FLAIR magnetic resonance.
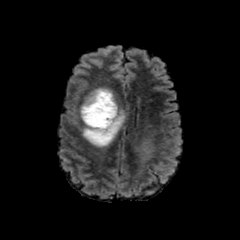
T1-weighted MR.
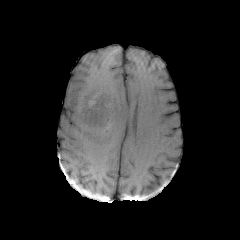
Post-contrast T1-weighted MR.
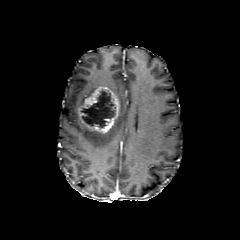
T2-weighted MRI.
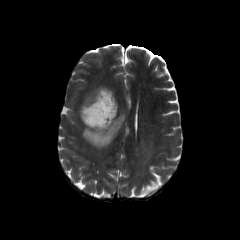
Axial plane
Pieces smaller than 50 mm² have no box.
• peritumoral edema: x1=131, y1=133, x2=160, y2=178; x1=82, y1=109, x2=125, y2=147
• enhancing tumor: x1=78, y1=86, x2=119, y2=133
• necrotic tumor core: x1=81, y1=90, x2=115, y2=127